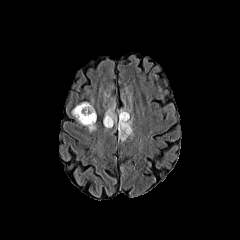
FLAIR MR.
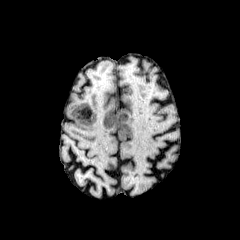
T1-weighted magnetic resonance of the same slice.
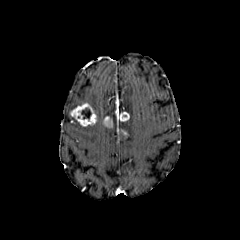
Post-contrast T1-weighted MRI of the same slice.
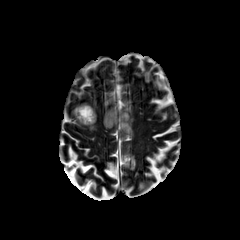
T2-weighted MRI.
Brain
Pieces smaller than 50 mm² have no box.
The 3 largest peritumoral edema regions are located at x1=105 y1=104 x2=115 y2=118, x1=119 y1=116 x2=132 y2=141, x1=86 y1=124 x2=96 y2=132. The largest necrotic tumor core region is at x1=81 y1=108 x2=91 y2=120. The 3 largest enhancing tumor regions appear at x1=115 y1=111 x2=129 y2=130, x1=70 y1=103 x2=96 y2=126, x1=103 y1=116 x2=113 y2=127.